Slice 75 of 155. Image width 240 mm, 1.00 mm slice spacing.
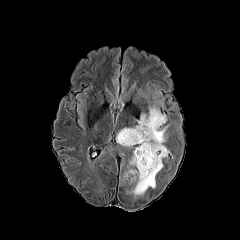
FLAIR MR image.
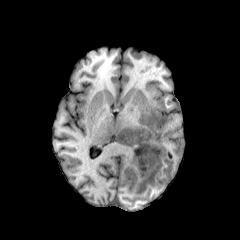
T1-weighted MRI of the same slice.
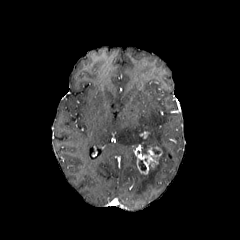
Post-contrast T1-weighted MRI of the same slice.
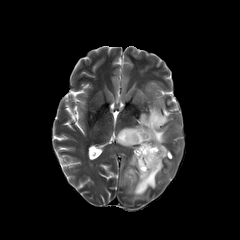
T2-weighted MR of the same slice.
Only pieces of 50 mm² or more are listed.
Annotated regions:
* peritumoral edema: [116,106,169,198], [129,154,136,166]
* enhancing tumor: [134,145,162,174]
* necrotic tumor core: [139,160,146,170]